FLAIR MR.
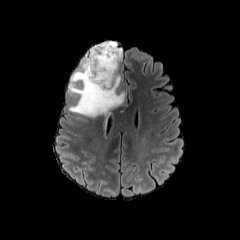
T1-weighted MR image.
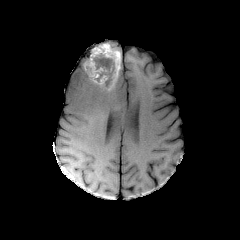
Post-contrast T1-weighted magnetic resonance.
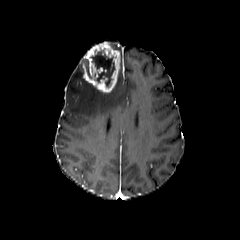
T2-weighted magnetic resonance.
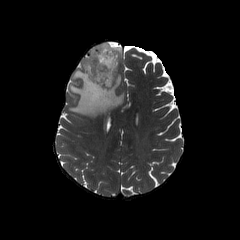
Head, Image size 240x240
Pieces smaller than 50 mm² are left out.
<segmentation>
  <peritumoral_edema>(left=69, top=63, right=124, bottom=118), (left=104, top=41, right=121, bottom=58)</peritumoral_edema>
  <necrotic_tumor_core>(left=86, top=59, right=92, bottom=79), (left=90, top=47, right=114, bottom=86)</necrotic_tumor_core>
  <enhancing_tumor>(left=81, top=42, right=120, bottom=93)</enhancing_tumor>
</segmentation>